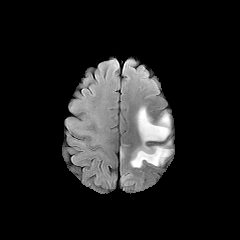
FLAIR magnetic resonance.
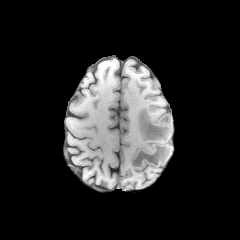
T1-weighted MRI.
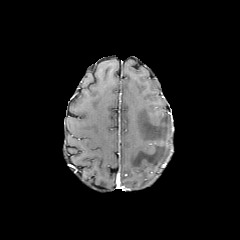
Same slice, post-contrast T1-weighted magnetic resonance.
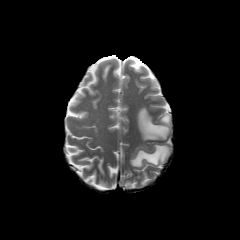
Same slice, T2-weighted MR.
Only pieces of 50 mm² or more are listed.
<segmentation>
  <peritumoral_edema>l=131, t=107, r=171, b=167</peritumoral_edema>
</segmentation>